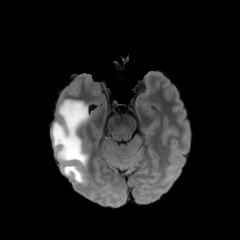
FLAIR MRI.
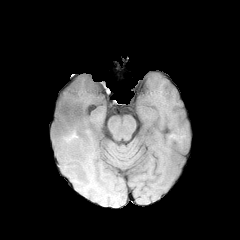
T1-weighted MRI.
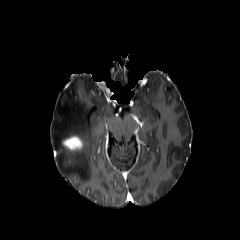
Post-contrast T1-weighted MR image.
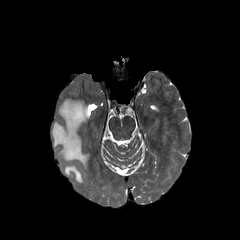
T2-weighted MR.
Axial plane, 240x240, Head
peritumoral edema = {"x1": 51, "y1": 99, "x2": 89, "y2": 183}
enhancing tumor = {"x1": 62, "y1": 135, "x2": 82, "y2": 152}